Brain; 240x240 px
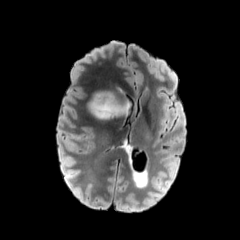
FLAIR magnetic resonance.
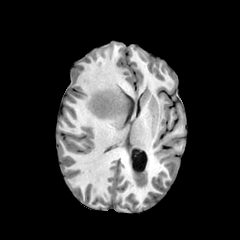
T1-weighted MRI of the same slice.
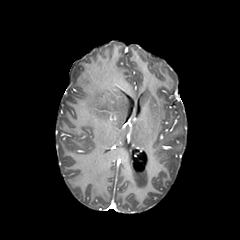
Same slice, post-contrast T1-weighted MR.
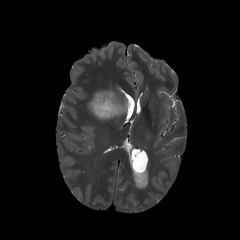
T2-weighted magnetic resonance of the same slice.
The peritumoral edema appears at [89, 91, 129, 119].